FLAIR MR image.
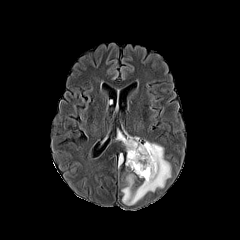
T1-weighted MRI.
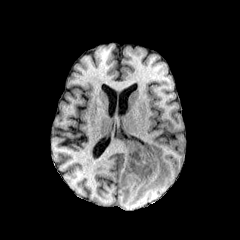
Post-contrast T1-weighted magnetic resonance.
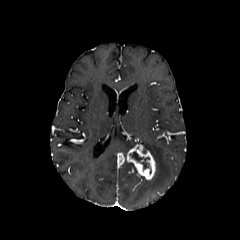
T2-weighted MR.
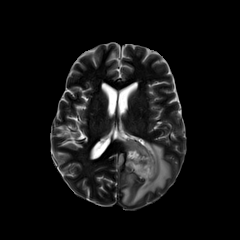
Brain
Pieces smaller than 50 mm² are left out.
Annotated regions:
* necrotic tumor core: 130,152,149,169
* enhancing tumor: 126,144,155,180; 118,153,124,166
* peritumoral edema: 125,161,136,173; 121,141,170,205; 117,135,139,152